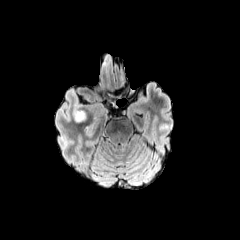
FLAIR MR image.
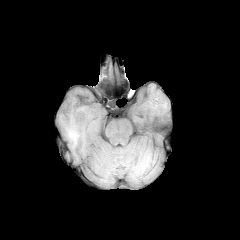
T1-weighted MR.
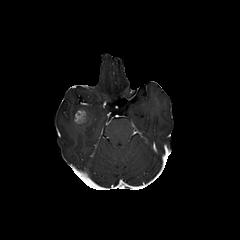
Post-contrast T1-weighted MRI.
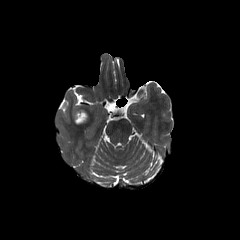
T2-weighted MR image of the same slice.
Brain
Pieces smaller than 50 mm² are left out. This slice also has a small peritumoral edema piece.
<segmentation>
  <enhancing_tumor>rect(74, 110, 87, 124)</enhancing_tumor>
</segmentation>